Brain. Axial plane. Slice index 72. Image width 240 mm, 1.00 mm slice spacing.
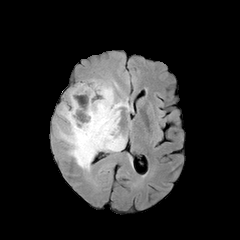
FLAIR MR.
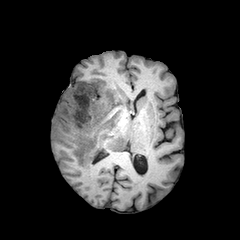
T1-weighted magnetic resonance of the same slice.
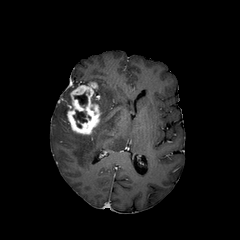
Post-contrast T1-weighted MR of the same slice.
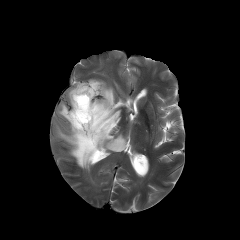
T2-weighted MRI.
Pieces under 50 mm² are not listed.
The 2 largest necrotic tumor core regions are bounded by box=[74, 93, 87, 105]; box=[73, 110, 87, 122]. 2 peritumoral edema regions appear at box=[67, 84, 77, 105]; box=[55, 79, 129, 171]. The enhancing tumor is located at box=[67, 82, 101, 134].